Brain. Slice index 76. Axial plane.
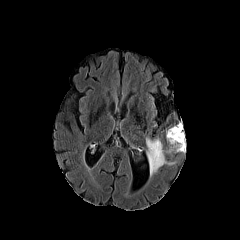
FLAIR MR image.
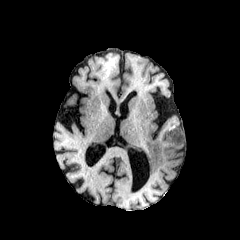
T1-weighted magnetic resonance of the same slice.
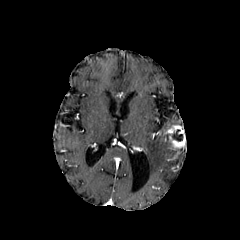
Post-contrast T1-weighted MR of the same slice.
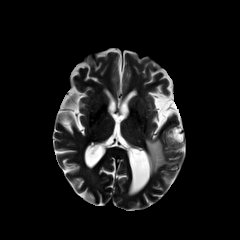
T2-weighted MR image.
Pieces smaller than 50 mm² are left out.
The largest peritumoral edema region appears at x1=146, y1=137, x2=174, y2=175. The enhancing tumor lies within x1=166, y1=125, x2=185, y2=152. The necrotic tumor core is at x1=171, y1=129, x2=182, y2=141.